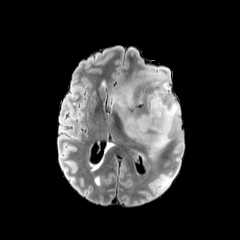
FLAIR magnetic resonance.
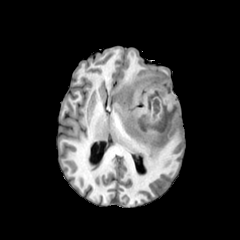
Same slice, T1-weighted MR image.
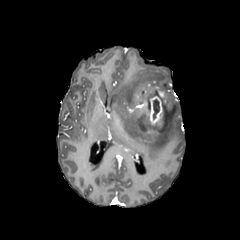
Post-contrast T1-weighted magnetic resonance of the same slice.
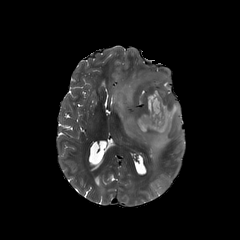
T2-weighted MR.
Brain
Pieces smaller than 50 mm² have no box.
enhancing tumor: bounding box box(145, 90, 165, 125)
peritumoral edema: bounding box box(110, 68, 180, 157)
necrotic tumor core: bounding box box(153, 99, 159, 118)